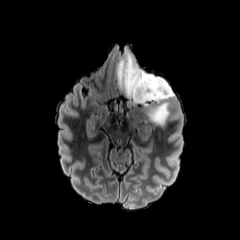
FLAIR MR image.
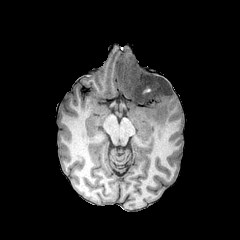
Same slice, T1-weighted MRI.
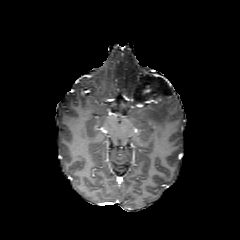
Post-contrast T1-weighted MR.
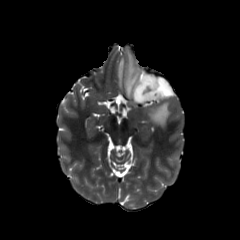
T2-weighted MRI.
Head.
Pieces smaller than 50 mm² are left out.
enhancing_tumor:
  - (144, 97, 162, 103)
peritumoral_edema:
  - (117, 50, 174, 126)